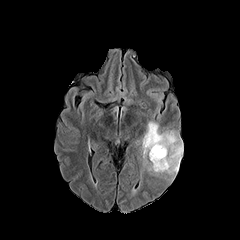
FLAIR MR.
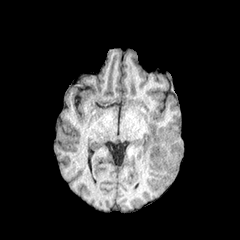
T1-weighted MR.
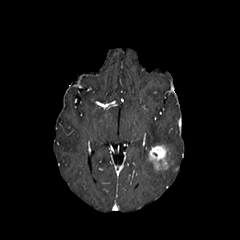
Post-contrast T1-weighted magnetic resonance.
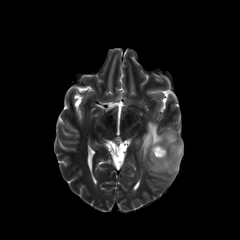
T2-weighted MR image of the same slice.
240x240, Axial view
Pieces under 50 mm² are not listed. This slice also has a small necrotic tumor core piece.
enhancing tumor — <box>149,145,169,170</box>
peritumoral edema — <box>142,121,183,175</box>